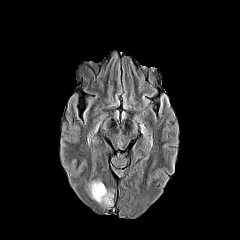
FLAIR magnetic resonance.
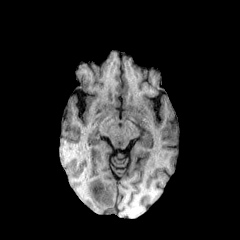
T1-weighted magnetic resonance.
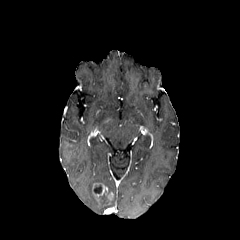
Same slice, post-contrast T1-weighted MRI.
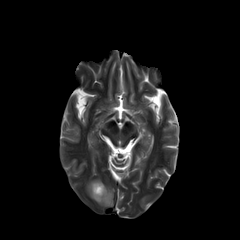
T2-weighted magnetic resonance of the same slice.
Axial view
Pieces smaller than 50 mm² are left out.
The largest peritumoral edema region is at {"x1": 88, "y1": 180, "x2": 101, "y2": 199}. The enhancing tumor lies within {"x1": 92, "y1": 182, "x2": 113, "y2": 204}. The largest necrotic tumor core region lies within {"x1": 94, "y1": 185, "x2": 102, "y2": 193}.